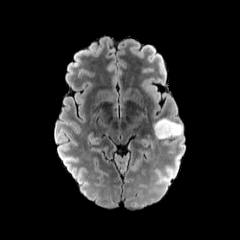
FLAIR magnetic resonance.
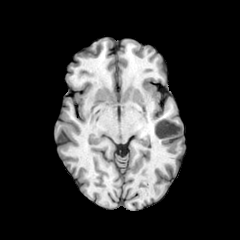
T1-weighted MR image.
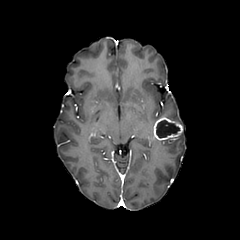
Same slice, post-contrast T1-weighted MRI.
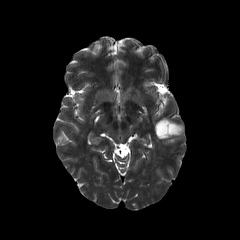
Same slice, T2-weighted MR.
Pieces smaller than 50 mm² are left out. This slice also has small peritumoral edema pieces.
necrotic_tumor_core:
  - {"x1": 156, "y1": 120, "x2": 179, "y2": 137}
enhancing_tumor:
  - {"x1": 153, "y1": 117, "x2": 183, "y2": 140}